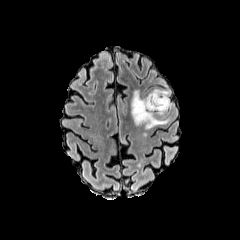
FLAIR MRI.
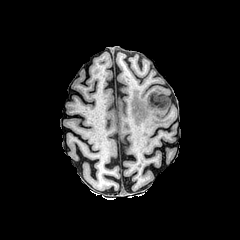
T1-weighted magnetic resonance.
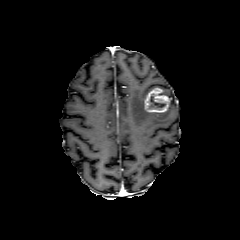
Post-contrast T1-weighted MR image of the same slice.
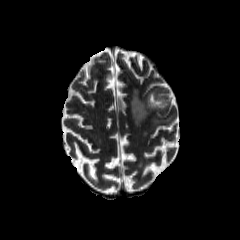
T2-weighted MR image.
Head, Axial plane
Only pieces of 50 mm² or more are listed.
enhancing tumor — left=144, top=87, right=170, bottom=112
necrotic tumor core — left=147, top=93, right=165, bottom=109
peritumoral edema — left=131, top=90, right=169, bottom=128